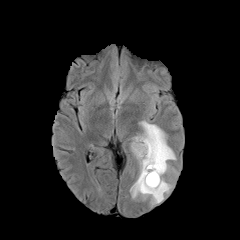
FLAIR MR image.
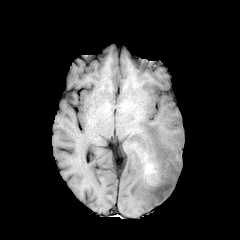
T1-weighted magnetic resonance of the same slice.
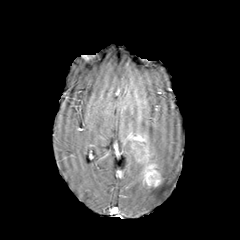
Post-contrast T1-weighted magnetic resonance.
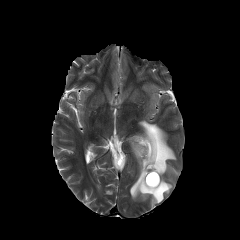
T2-weighted MR of the same slice.
Axial view; Image size 240x240
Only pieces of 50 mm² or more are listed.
The largest enhancing tumor region is bounded by region(143, 164, 160, 187). The peritumoral edema is bounded by region(130, 120, 176, 205). The necrotic tumor core appears at region(149, 173, 156, 186).